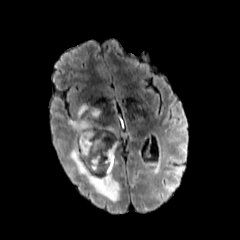
FLAIR MRI.
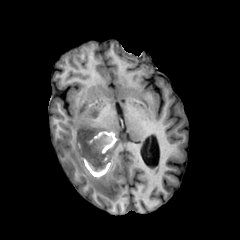
T1-weighted MRI.
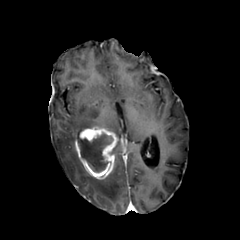
Same slice, post-contrast T1-weighted MR image.
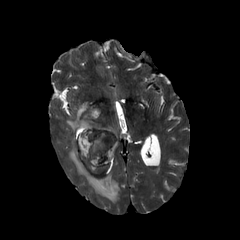
Same slice, T2-weighted magnetic resonance.
Brain. 240x240.
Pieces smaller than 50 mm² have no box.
The necrotic tumor core is at left=78, top=133, right=113, bottom=172. The enhancing tumor lies within left=75, top=127, right=116, bottom=179. The 3 largest peritumoral edema regions are located at left=89, top=109, right=100, bottom=118; left=68, top=104, right=115, bottom=138; left=69, top=142, right=120, bottom=202.